Axial plane; 240x240
FLAIR magnetic resonance.
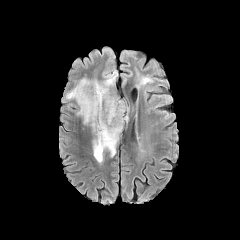
T1-weighted MR image.
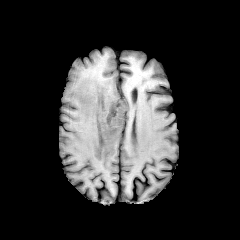
Post-contrast T1-weighted magnetic resonance.
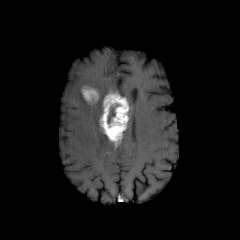
T2-weighted MR.
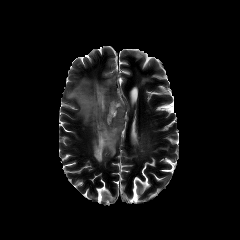
necrotic tumor core: bounding box <box>107,103,120,126</box>
peritumoral edema: bounding box <box>66,77,115,162</box>
enhancing tumor: bounding box <box>99,92,129,146</box>, <box>81,86,99,104</box>